FLAIR MR image.
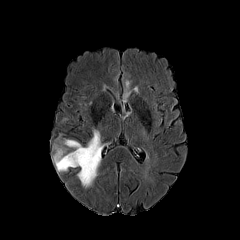
T1-weighted MR.
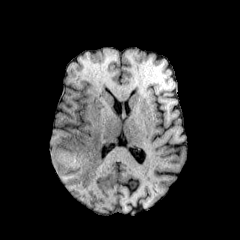
Post-contrast T1-weighted MR image.
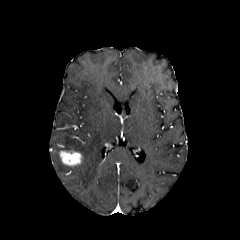
T2-weighted MRI.
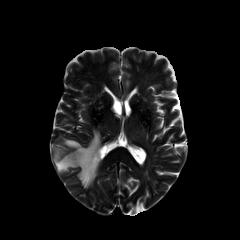
Axial view.
{
  "enhancing_tumor": [
    "[59,149,82,166]"
  ],
  "peritumoral_edema": [
    "[52,129,102,187]"
  ]
}